Brain, 240x240
FLAIR magnetic resonance.
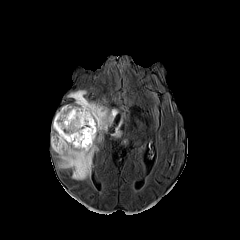
T1-weighted MRI.
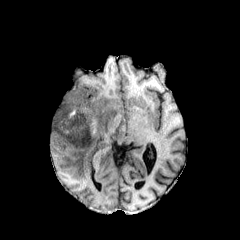
Post-contrast T1-weighted MRI.
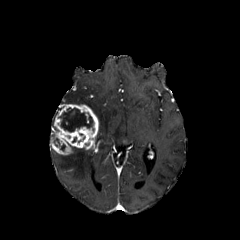
T2-weighted MRI.
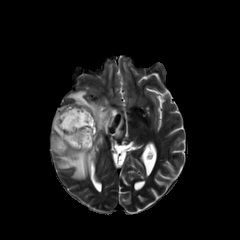
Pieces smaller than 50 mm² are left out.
enhancing tumor at box=[50, 104, 98, 154]
necrotic tumor core at box=[58, 107, 93, 131]
peritumoral edema at box=[111, 116, 122, 136]; box=[57, 148, 93, 179]; box=[67, 90, 118, 132]